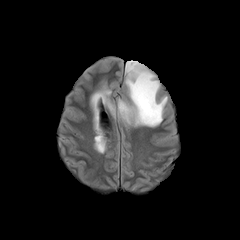
FLAIR magnetic resonance.
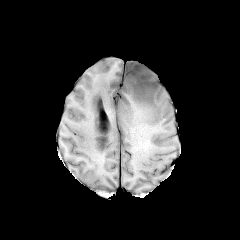
Same slice, T1-weighted magnetic resonance.
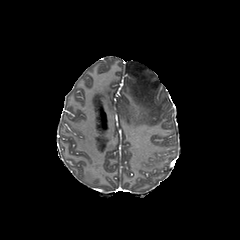
Same slice, post-contrast T1-weighted magnetic resonance.
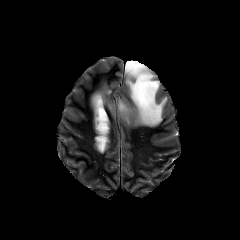
Same slice, T2-weighted MR image.
240x240 px.
Segmented structures:
* peritumoral edema: (x1=118, y1=61, x2=167, y2=126), (x1=91, y1=86, x2=115, y2=119)